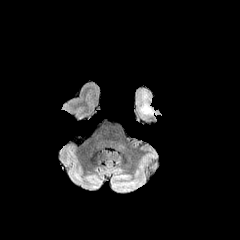
FLAIR magnetic resonance.
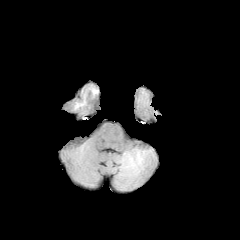
T1-weighted MRI.
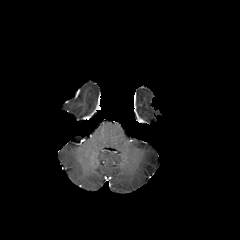
Same slice, post-contrast T1-weighted MR.
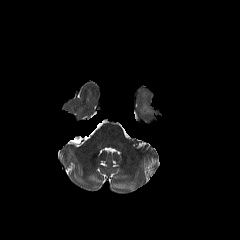
T2-weighted MR image of the same slice.
Axial plane
Segmented structures:
- peritumoral edema: [140,92,154,114]